Slice index 46 | 240x240 px
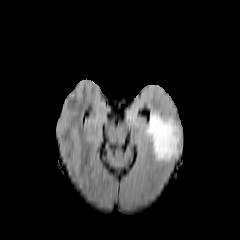
FLAIR magnetic resonance.
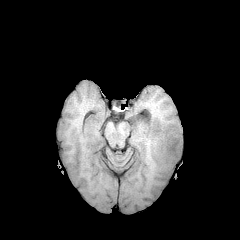
Same slice, T1-weighted MR image.
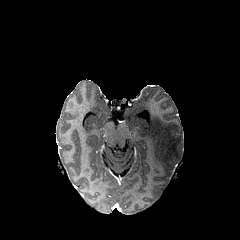
Post-contrast T1-weighted MRI.
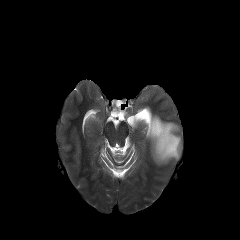
Same slice, T2-weighted MRI.
peritumoral edema: {"x1": 143, "y1": 112, "x2": 180, "y2": 162}